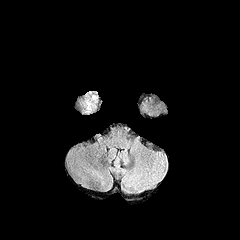
FLAIR MRI.
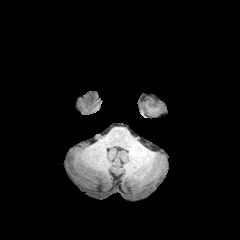
T1-weighted magnetic resonance of the same slice.
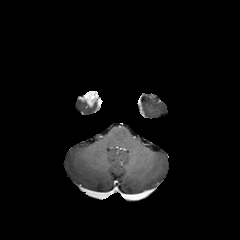
Post-contrast T1-weighted magnetic resonance.
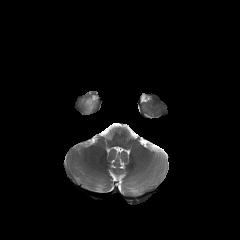
T2-weighted MRI.
Brain
enhancing tumor: (left=80, top=91, right=98, bottom=107) | peritumoral edema: (left=83, top=102, right=95, bottom=113)